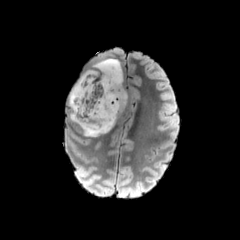
FLAIR MR.
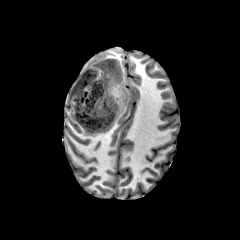
T1-weighted magnetic resonance.
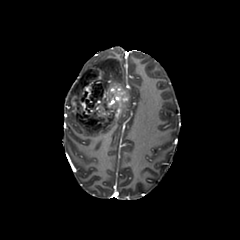
Post-contrast T1-weighted magnetic resonance.
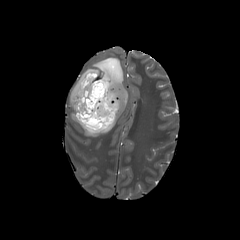
T2-weighted MR.
240x240.
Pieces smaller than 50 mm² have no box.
The enhancing tumor is at 71,70,127,125. 2 necrotic tumor core regions are located at 76,82,106,123; 79,71,98,93. The 3 largest peritumoral edema regions are bounded by 69,78,80,110; 70,112,117,136; 81,58,123,85.